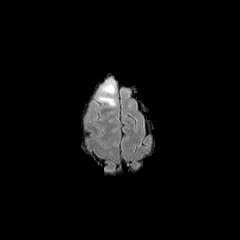
FLAIR MR.
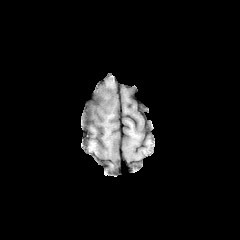
T1-weighted magnetic resonance of the same slice.
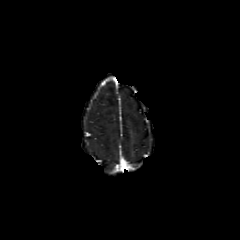
Post-contrast T1-weighted MR image.
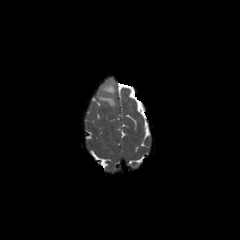
T2-weighted magnetic resonance.
- peritumoral edema: (97,81,115,106)